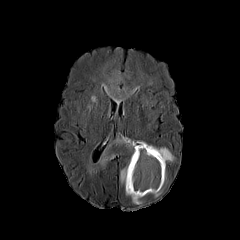
FLAIR MR image.
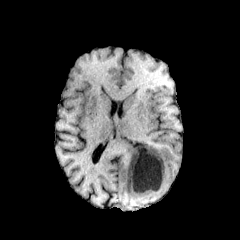
T1-weighted MR.
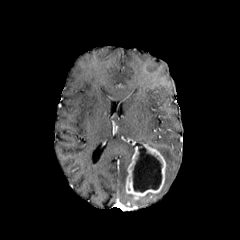
Post-contrast T1-weighted MR image.
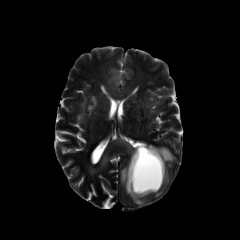
Same slice, T2-weighted magnetic resonance.
Brain
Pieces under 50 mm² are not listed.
The necrotic tumor core lies within bbox(132, 144, 161, 192). The 5 largest peritumoral edema regions appear at bbox(88, 140, 135, 169); bbox(149, 145, 174, 162); bbox(120, 166, 127, 184); bbox(109, 87, 130, 99); bbox(126, 193, 142, 204). The enhancing tumor appears at bbox(125, 143, 165, 199).